FLAIR magnetic resonance.
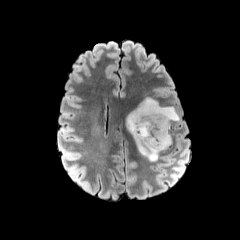
T1-weighted MR.
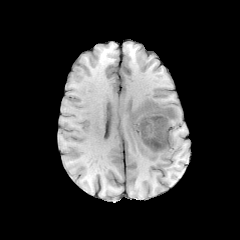
Post-contrast T1-weighted MR.
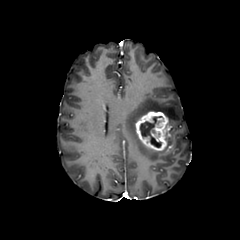
T2-weighted MRI.
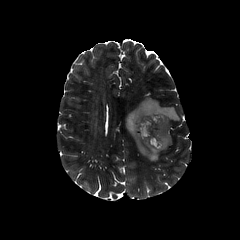
Brain
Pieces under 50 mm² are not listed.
Segmented structures:
* enhancing tumor: region(135, 111, 170, 151)
* necrotic tumor core: region(140, 115, 164, 148)
* peritumoral edema: region(125, 97, 179, 161)